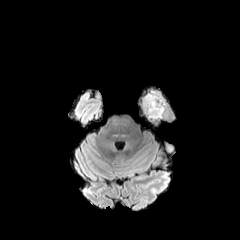
FLAIR MR.
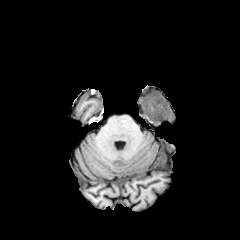
T1-weighted magnetic resonance.
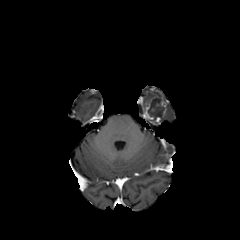
Post-contrast T1-weighted MRI of the same slice.
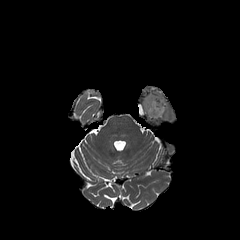
T2-weighted MR image.
240x240; Brain
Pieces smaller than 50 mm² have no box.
peritumoral_edema:
  - box(163, 103, 170, 119)
  - box(141, 90, 162, 113)
enhancing_tumor:
  - box(144, 96, 166, 118)
  - box(150, 117, 162, 123)
necrotic_tumor_core:
  - box(148, 98, 164, 120)